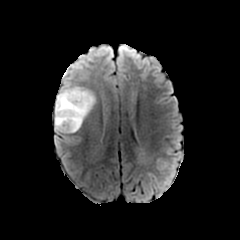
FLAIR MR.
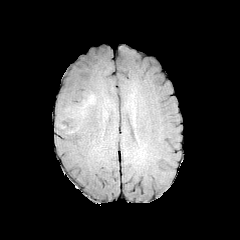
T1-weighted MRI.
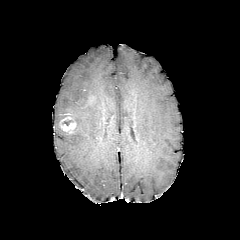
Post-contrast T1-weighted magnetic resonance.
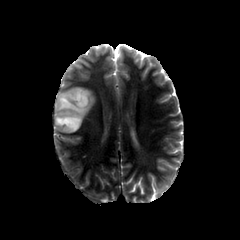
Same slice, T2-weighted MR image.
Brain, Axial plane, 240x240
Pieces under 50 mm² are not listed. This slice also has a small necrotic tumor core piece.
{"peritumoral_edema": ["54, 82, 96, 134"], "enhancing_tumor": ["59, 113, 76, 133"]}